Axial slice | 240x240 | Brain
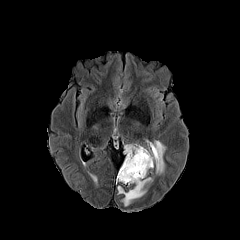
FLAIR magnetic resonance.
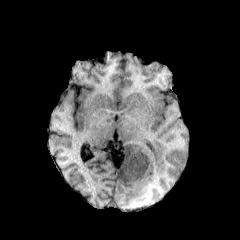
T1-weighted MR image of the same slice.
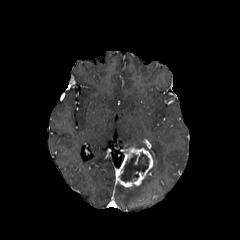
Post-contrast T1-weighted MR image.
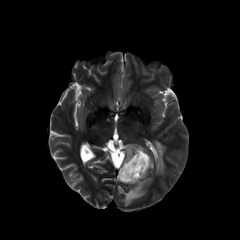
T2-weighted MRI of the same slice.
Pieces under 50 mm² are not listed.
The necrotic tumor core is at left=120, top=153, right=148, bottom=181. The 2 largest peritumoral edema regions are bounded by left=117, top=177, right=152, bottom=206; left=149, top=140, right=165, bottom=174. The enhancing tumor lies within left=116, top=145, right=153, bottom=186.